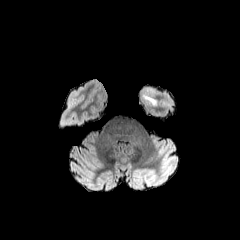
FLAIR MR image.
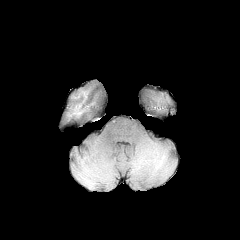
T1-weighted MR image of the same slice.
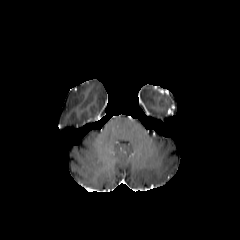
Post-contrast T1-weighted MR of the same slice.
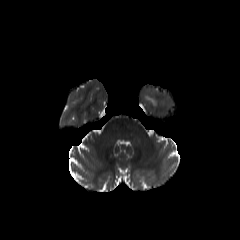
Same slice, T2-weighted MR.
Brain | 240x240 px
peritumoral edema: region(144, 94, 156, 105)